Slice 109/155. Axial plane.
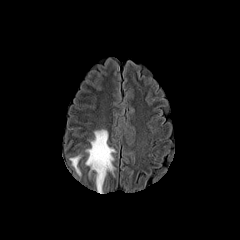
FLAIR MR image.
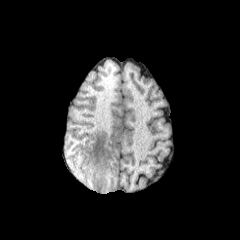
T1-weighted magnetic resonance.
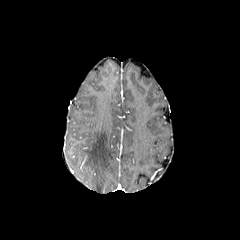
Post-contrast T1-weighted magnetic resonance of the same slice.
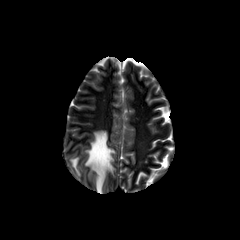
T2-weighted MR image.
- peritumoral edema: rect(85, 129, 115, 193); rect(70, 156, 80, 175)